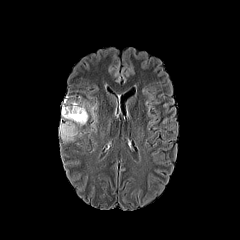
FLAIR MR image.
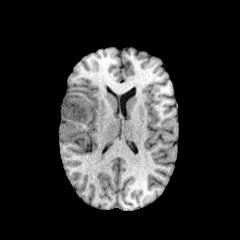
T1-weighted MR image.
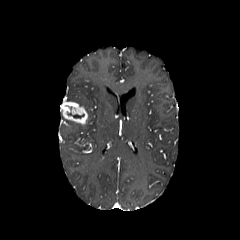
Post-contrast T1-weighted MRI.
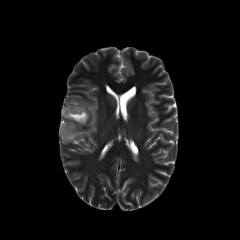
Same slice, T2-weighted MR.
Axial plane.
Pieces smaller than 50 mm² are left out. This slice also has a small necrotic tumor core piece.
{
  "peritumoral_edema": [
    "box(60, 116, 81, 143)",
    "box(77, 97, 92, 108)"
  ],
  "enhancing_tumor": [
    "box(61, 100, 87, 125)"
  ]
}